Slice index 63 | Image width 240 mm
FLAIR magnetic resonance.
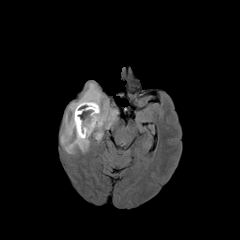
T1-weighted magnetic resonance.
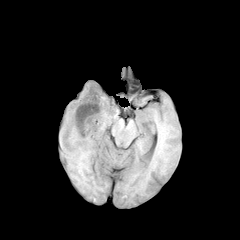
Post-contrast T1-weighted MRI.
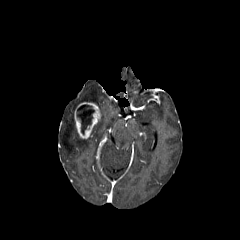
T2-weighted MR image.
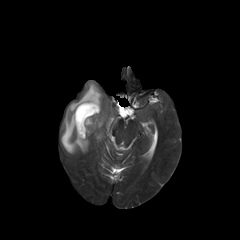
The peritumoral edema lies within l=60, t=82, r=117, b=153. The enhancing tumor is at l=74, t=102, r=101, b=138. The necrotic tumor core appears at l=77, t=105, r=94, b=134.